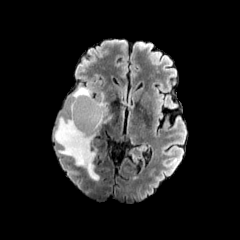
FLAIR magnetic resonance.
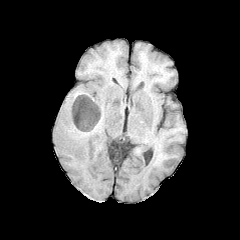
Same slice, T1-weighted MR.
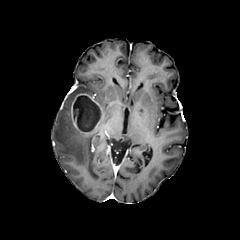
Same slice, post-contrast T1-weighted MRI.
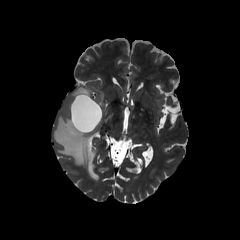
T2-weighted magnetic resonance.
Brain. Axial view.
The enhancing tumor is bounded by left=71, top=93, right=103, bottom=133. 2 peritumoral edema regions are located at left=54, top=86, right=113, bottom=180; left=98, top=92, right=108, bottom=115. The necrotic tumor core appears at left=73, top=95, right=100, bottom=131.